FLAIR MR.
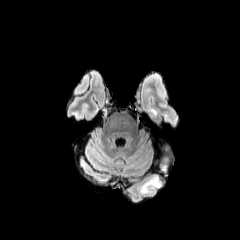
T1-weighted MR.
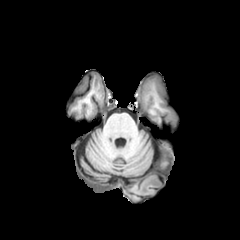
Post-contrast T1-weighted MR.
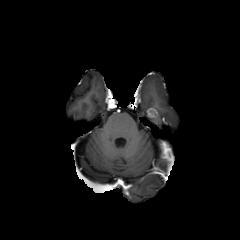
T2-weighted magnetic resonance.
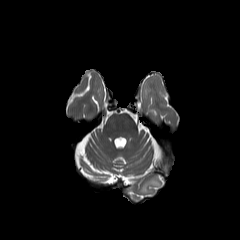
Brain
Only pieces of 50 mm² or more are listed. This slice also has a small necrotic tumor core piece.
peritumoral edema = bbox=[140, 178, 161, 193]
enhancing tumor = bbox=[161, 141, 170, 159]; bbox=[146, 107, 158, 119]